Head, 240x240 px
FLAIR MRI.
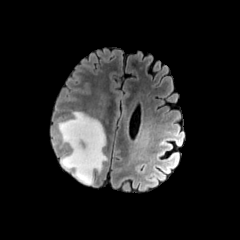
T1-weighted magnetic resonance.
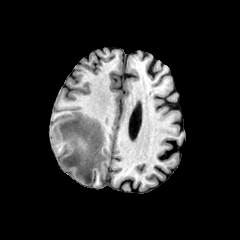
Post-contrast T1-weighted MR image.
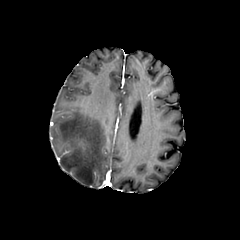
T2-weighted MR.
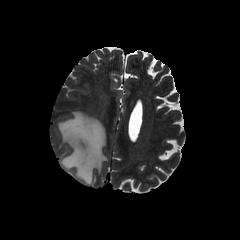
<segmentation>
  <peritumoral_edema>box=[58, 111, 107, 184]</peritumoral_edema>
</segmentation>